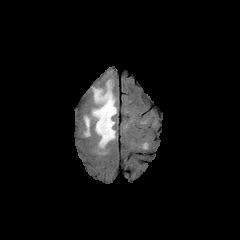
FLAIR MR.
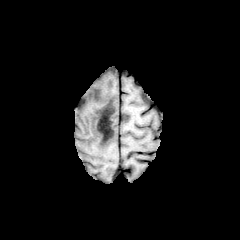
T1-weighted magnetic resonance.
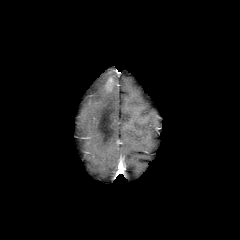
Post-contrast T1-weighted magnetic resonance of the same slice.
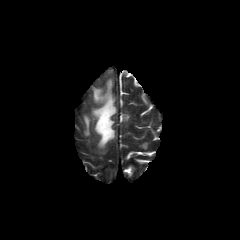
T2-weighted MR image.
240x240 px
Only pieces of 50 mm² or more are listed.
enhancing_tumor:
  - x1=106, y1=78, x2=113, y2=90
peritumoral_edema:
  - x1=91, y1=84, x2=117, y2=148
  - x1=84, y1=116, x2=90, y2=136